FLAIR magnetic resonance.
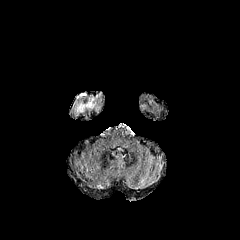
T1-weighted magnetic resonance.
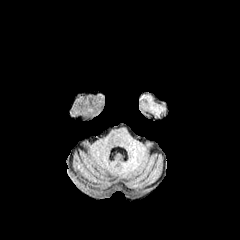
Post-contrast T1-weighted magnetic resonance.
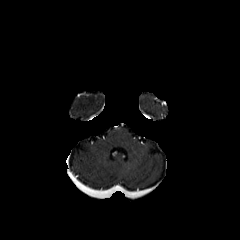
T2-weighted MR.
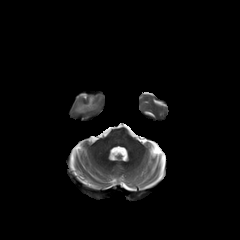
Head | 240x240
The peritumoral edema lies within l=75, t=97, r=96, b=112.